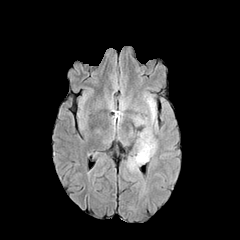
FLAIR MR.
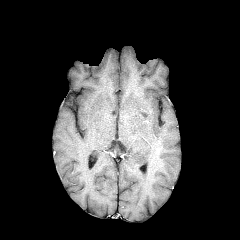
T1-weighted magnetic resonance.
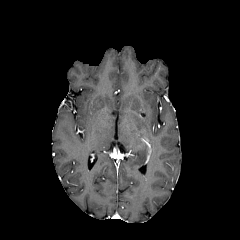
Same slice, post-contrast T1-weighted magnetic resonance.
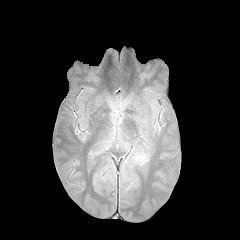
T2-weighted MR of the same slice.
<segmentation>
  <peritumoral_edema>box(131, 128, 155, 165); box(147, 98, 155, 121); box(134, 116, 146, 124)</peritumoral_edema>
</segmentation>